FLAIR MRI.
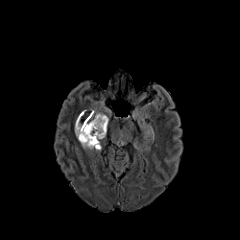
T1-weighted MR image.
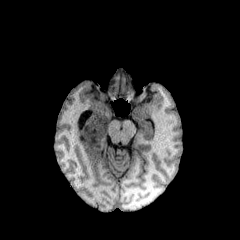
Post-contrast T1-weighted MRI.
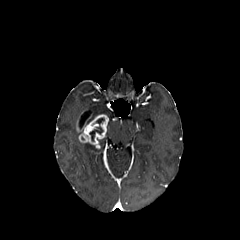
T2-weighted MR image.
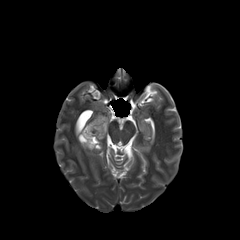
Brain, Image size 240x240, Axial plane
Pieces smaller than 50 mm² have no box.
The largest enhancing tumor region is at {"x1": 76, "y1": 114, "x2": 108, "y2": 148}. The largest necrotic tumor core region is bounded by {"x1": 89, "y1": 126, "x2": 103, "y2": 141}. The 2 largest peritumoral edema regions are bounded by {"x1": 87, "y1": 110, "x2": 102, "y2": 123}, {"x1": 81, "y1": 143, "x2": 95, "y2": 149}.